FLAIR magnetic resonance.
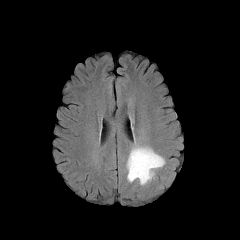
T1-weighted magnetic resonance.
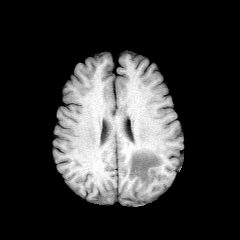
Post-contrast T1-weighted MR.
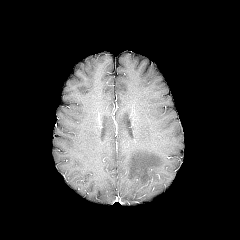
T2-weighted MR.
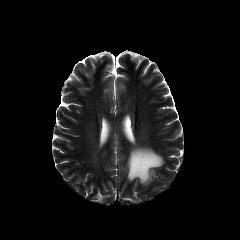
240x240 px.
* peritumoral edema: box(126, 146, 164, 185)